FLAIR MR.
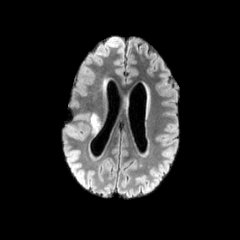
T1-weighted MRI.
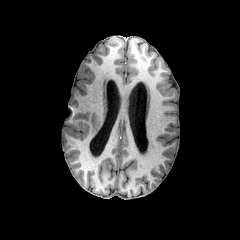
Post-contrast T1-weighted MR.
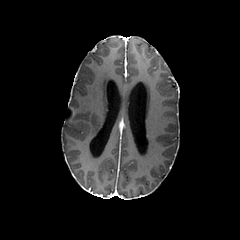
T2-weighted MRI.
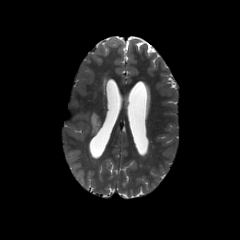
Axial plane. Brain.
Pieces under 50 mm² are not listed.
Annotated regions:
• peritumoral edema: x1=91, y1=113, x2=100, y2=133